FLAIR MR image.
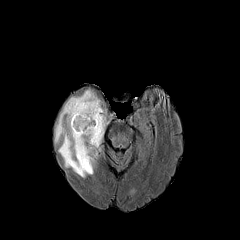
T1-weighted MR image.
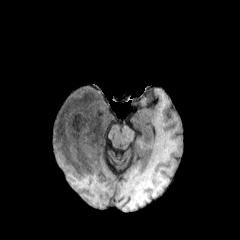
Post-contrast T1-weighted magnetic resonance.
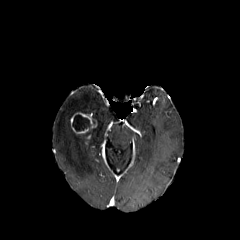
T2-weighted MR.
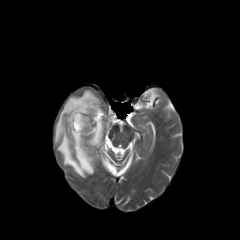
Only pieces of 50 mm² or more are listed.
peritumoral_edema:
  - (x1=54, y1=89, x2=112, y2=177)
necrotic_tumor_core:
  - (x1=72, y1=114, x2=90, y2=131)
enhancing_tumor:
  - (x1=70, y1=112, x2=97, y2=134)